FLAIR MR.
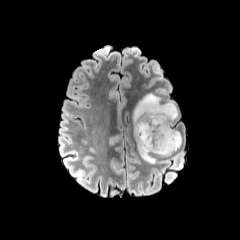
T1-weighted MRI.
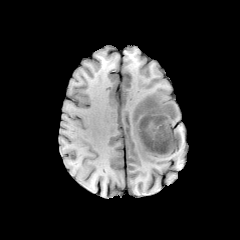
Post-contrast T1-weighted magnetic resonance.
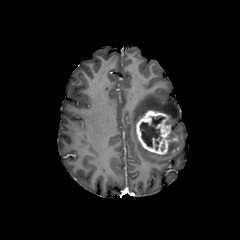
T2-weighted MR.
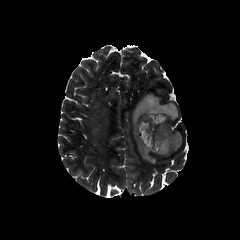
Brain
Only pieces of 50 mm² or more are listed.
enhancing_tumor:
  - [136, 110, 179, 154]
necrotic_tumor_core:
  - [140, 115, 164, 150]
peritumoral_edema:
  - [172, 129, 181, 147]
  - [158, 147, 175, 156]
  - [132, 93, 178, 163]